FLAIR magnetic resonance.
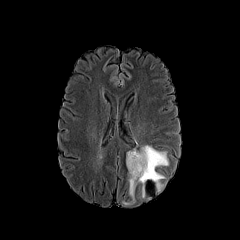
T1-weighted magnetic resonance.
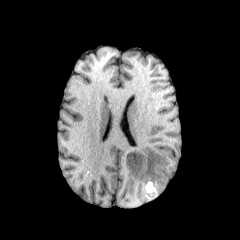
Post-contrast T1-weighted MR.
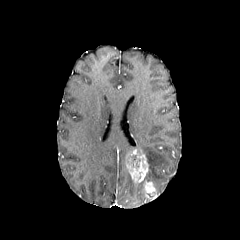
T2-weighted MRI.
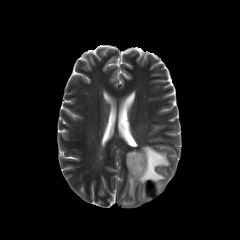
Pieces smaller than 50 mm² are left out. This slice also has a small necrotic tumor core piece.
The 2 largest peritumoral edema regions appear at <bbox>128, 173, 137, 202</bbox>, <bbox>137, 145, 168, 198</bbox>. The enhancing tumor appears at <bbox>126, 150, 149, 182</bbox>.